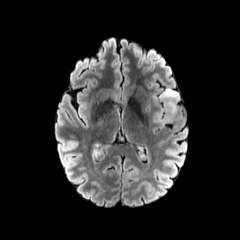
FLAIR MR image.
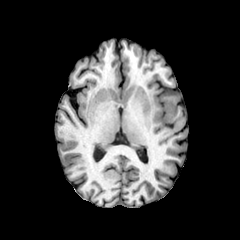
T1-weighted magnetic resonance of the same slice.
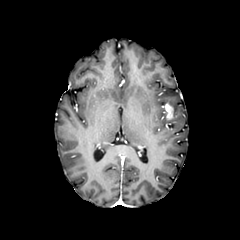
Post-contrast T1-weighted MR image of the same slice.
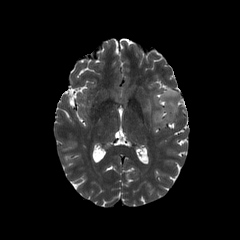
T2-weighted MRI.
Axial slice
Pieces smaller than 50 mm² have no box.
peritumoral edema: [159, 88, 179, 115], [154, 107, 172, 125] | enhancing tumor: [163, 103, 173, 119]